FLAIR magnetic resonance.
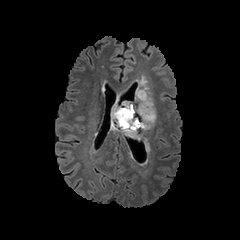
T1-weighted magnetic resonance.
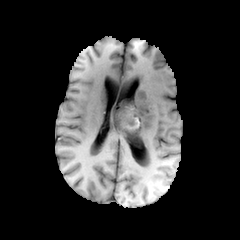
Post-contrast T1-weighted magnetic resonance.
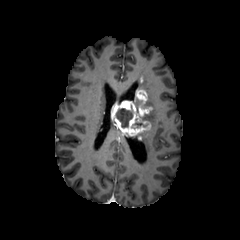
T2-weighted MR.
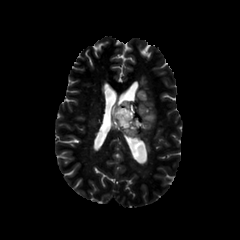
Brain.
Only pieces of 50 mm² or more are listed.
<segmentation>
  <peritumoral_edema>[133, 76, 155, 139]</peritumoral_edema>
  <necrotic_tumor_core>[117, 109, 132, 128]</necrotic_tumor_core>
  <enhancing_tumor>[111, 90, 153, 136]</enhancing_tumor>
</segmentation>